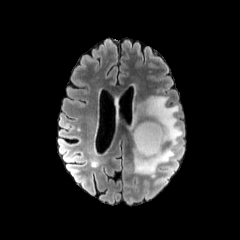
FLAIR magnetic resonance.
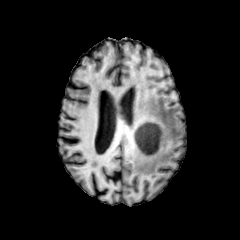
T1-weighted MR image of the same slice.
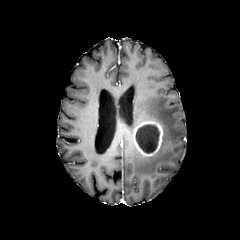
Post-contrast T1-weighted magnetic resonance.
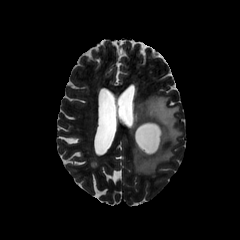
T2-weighted magnetic resonance.
Head.
<segmentation>
  <peritumoral_edema><box>127,96,182,145</box>, <box>134,148,173,176</box></peritumoral_edema>
  <necrotic_tumor_core><box>136,125,159,153</box></necrotic_tumor_core>
  <enhancing_tumor><box>133,120,163,156</box></enhancing_tumor>
</segmentation>